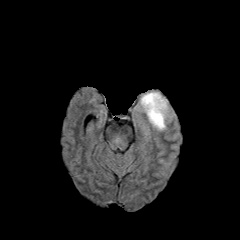
FLAIR MR.
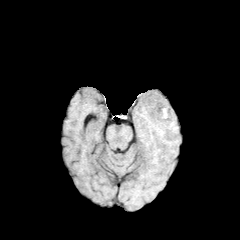
T1-weighted MRI.
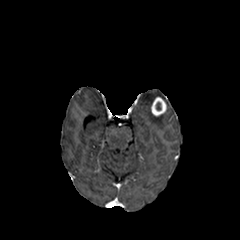
Post-contrast T1-weighted MR image.
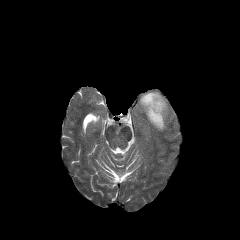
T2-weighted MRI.
Head, Axial plane
Annotated regions:
* peritumoral edema: x1=140, y1=92, x2=167, y2=130
* enhancing tumor: x1=151, y1=97, x2=166, y2=116